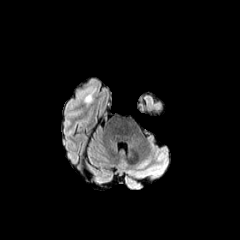
FLAIR MRI.
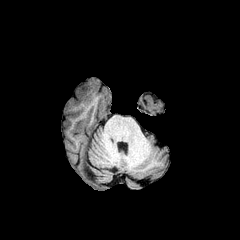
Same slice, T1-weighted magnetic resonance.
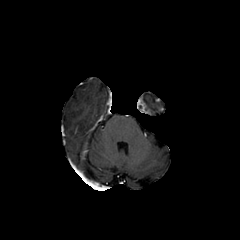
Post-contrast T1-weighted MRI of the same slice.
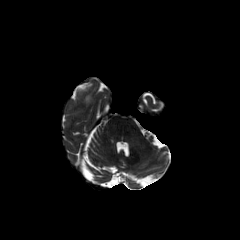
T2-weighted MR image of the same slice.
peritumoral edema at x1=84 y1=93 x2=92 y2=103